Image width 240 mm. Slice 32 of 155. Brain.
FLAIR MR.
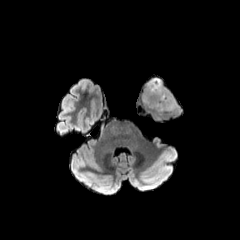
T1-weighted MR image.
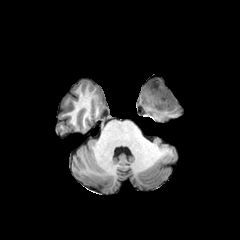
Post-contrast T1-weighted MRI.
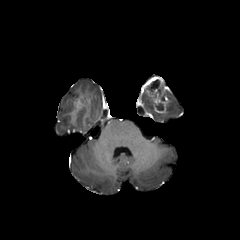
T2-weighted MR image.
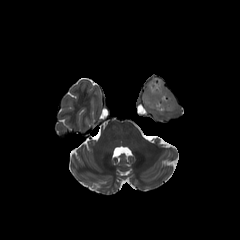
Segmented structures:
• necrotic tumor core: <box>156,103,163,110</box>, <box>147,80,165,100</box>
• enhancing tumor: <box>143,76,171,113</box>
• peritumoral edema: <box>166,94,177,111</box>, <box>141,90,153,110</box>